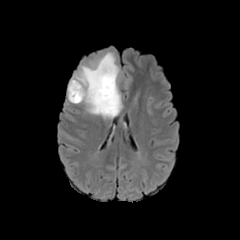
FLAIR MRI.
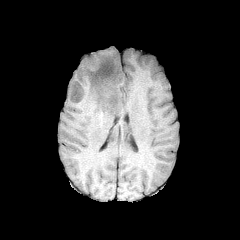
Same slice, T1-weighted MR image.
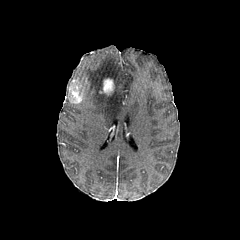
Post-contrast T1-weighted MRI.
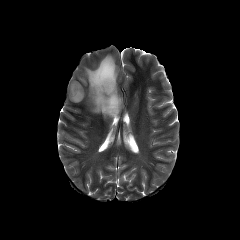
Same slice, T2-weighted magnetic resonance.
Axial view | 240x240 px
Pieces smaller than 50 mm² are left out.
The largest peritumoral edema region is bounded by {"x1": 75, "y1": 53, "x2": 121, "y2": 118}. 2 enhancing tumor regions are located at {"x1": 68, "y1": 79, "x2": 84, "y2": 103}, {"x1": 103, "y1": 78, "x2": 114, "y2": 95}.